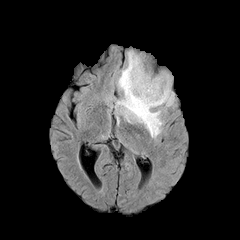
FLAIR MRI.
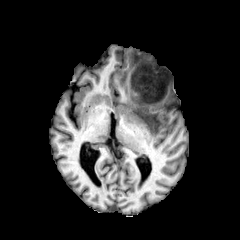
T1-weighted MR.
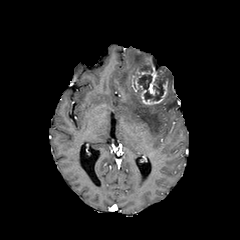
Post-contrast T1-weighted MRI of the same slice.
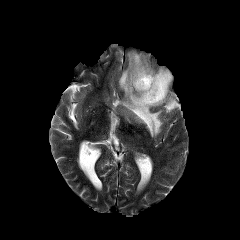
T2-weighted MRI.
240x240 px. Head.
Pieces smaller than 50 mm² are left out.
Findings:
• necrotic tumor core: 138, 69, 168, 100
• enhancing tumor: 132, 63, 168, 105
• peritumoral edema: 117, 51, 175, 137